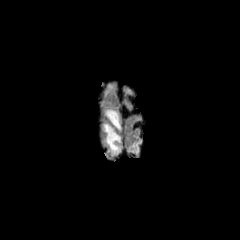
FLAIR magnetic resonance.
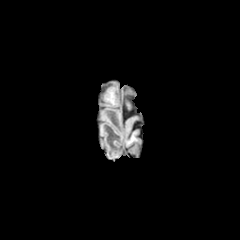
T1-weighted magnetic resonance of the same slice.
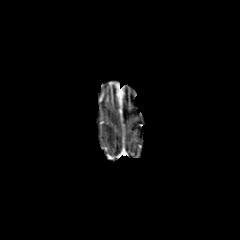
Post-contrast T1-weighted magnetic resonance.
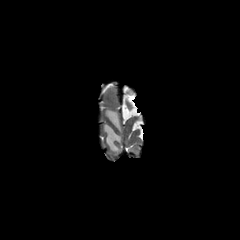
T2-weighted MR.
Head, Image size 240x240
2 peritumoral edema regions are located at x1=104, y1=108, x2=121, y2=130; x1=102, y1=123, x2=121, y2=154.